Image size 240x240. Slice 99 of 155. Head.
FLAIR MR image.
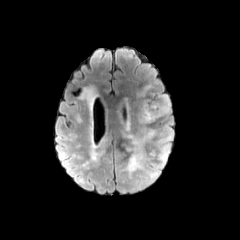
T1-weighted MR.
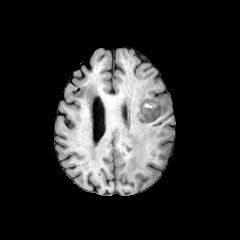
Post-contrast T1-weighted MR image.
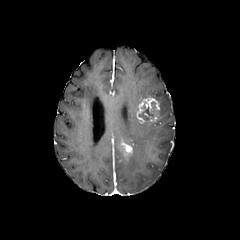
T2-weighted MRI.
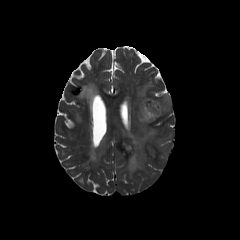
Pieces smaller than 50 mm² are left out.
Findings:
* necrotic tumor core: {"x1": 139, "y1": 106, "x2": 153, "y2": 120}
* enhancing tumor: {"x1": 136, "y1": 97, "x2": 160, "y2": 123}, {"x1": 122, "y1": 143, "x2": 132, "y2": 152}
* peritumoral edema: {"x1": 148, "y1": 147, "x2": 156, "y2": 157}, {"x1": 160, "y1": 134, "x2": 171, "y2": 143}, {"x1": 124, "y1": 122, "x2": 155, "y2": 176}, {"x1": 158, "y1": 144, "x2": 168, "y2": 160}, {"x1": 159, "y1": 95, "x2": 170, "y2": 117}